FLAIR MRI.
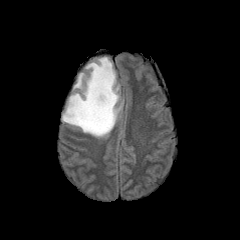
T1-weighted magnetic resonance.
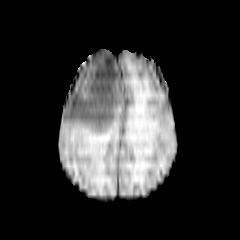
Post-contrast T1-weighted magnetic resonance.
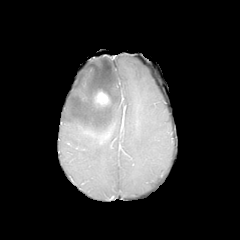
T2-weighted MR.
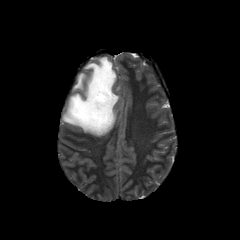
Head | Axial view
The enhancing tumor lies within (x1=93, y1=90, x2=110, y2=107). The peritumoral edema is bounded by (x1=62, y1=57, x2=122, y2=137).